Image width 240 mm, 240x240 px, Brain
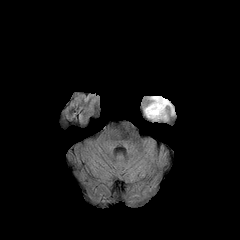
FLAIR magnetic resonance.
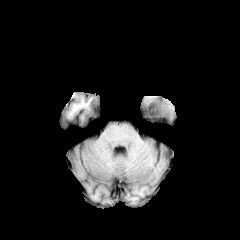
Same slice, T1-weighted magnetic resonance.
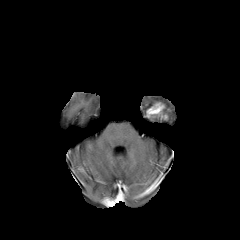
Post-contrast T1-weighted MR image.
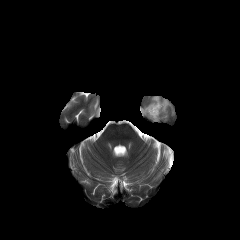
T2-weighted magnetic resonance.
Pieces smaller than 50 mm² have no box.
peritumoral edema = 144,96,174,115
enhancing tumor = 146,102,167,119